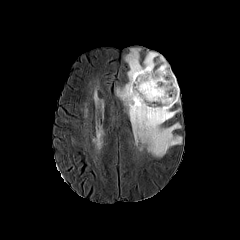
FLAIR MR.
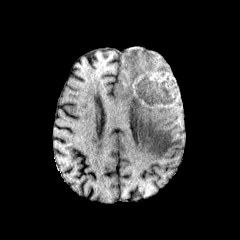
T1-weighted magnetic resonance of the same slice.
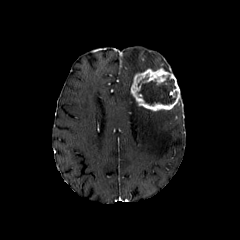
Post-contrast T1-weighted MR of the same slice.
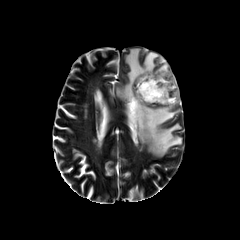
T2-weighted MRI.
Axial slice
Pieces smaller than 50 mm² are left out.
enhancing_tumor:
  - (130, 67, 180, 111)
necrotic_tumor_core:
  - (138, 77, 175, 104)
peritumoral_edema:
  - (116, 48, 182, 157)